FLAIR magnetic resonance.
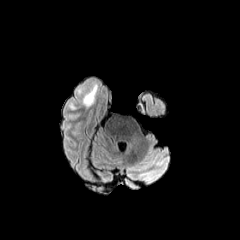
T1-weighted MR.
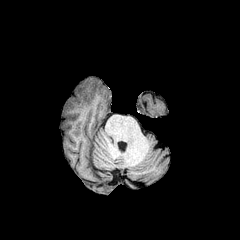
Post-contrast T1-weighted MRI.
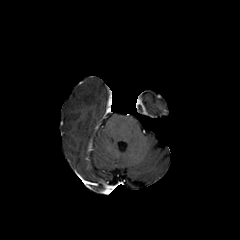
T2-weighted MR.
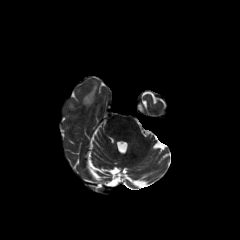
Image size 240x240
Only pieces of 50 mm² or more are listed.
- peritumoral edema: [83,84,97,106]